Slice 78 of 155. Image size 240x240. Axial view. Head.
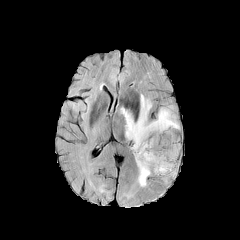
FLAIR magnetic resonance.
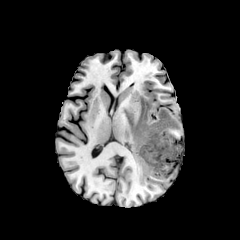
T1-weighted magnetic resonance.
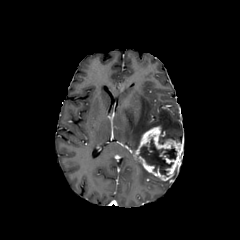
Post-contrast T1-weighted magnetic resonance.
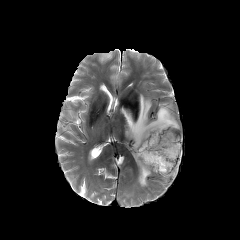
Same slice, T2-weighted magnetic resonance.
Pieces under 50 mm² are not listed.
{
  "enhancing_tumor": [
    "left=133, top=126, right=182, bottom=180"
  ],
  "peritumoral_edema": [
    "left=120, top=94, right=180, bottom=153",
    "left=135, top=160, right=152, bottom=186"
  ],
  "necrotic_tumor_core": [
    "left=139, top=140, right=172, bottom=174",
    "left=163, top=148, right=176, bottom=159"
  ]
}